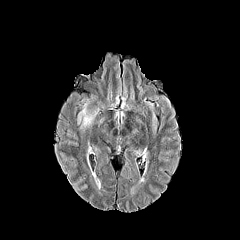
FLAIR MR.
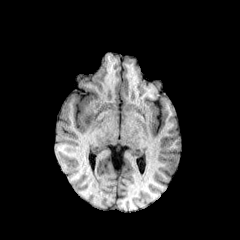
T1-weighted MR image.
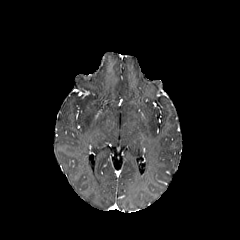
Post-contrast T1-weighted MR of the same slice.
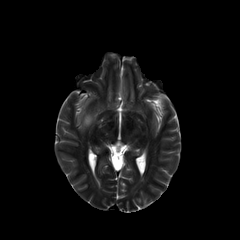
Same slice, T2-weighted MR.
Brain
The peritumoral edema is at (79, 102, 95, 127).